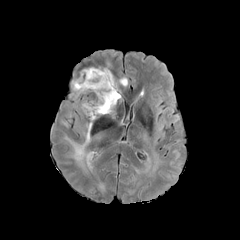
FLAIR MRI.
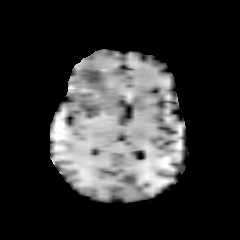
Same slice, T1-weighted MR.
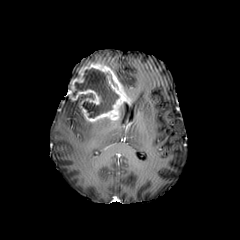
Post-contrast T1-weighted MR.
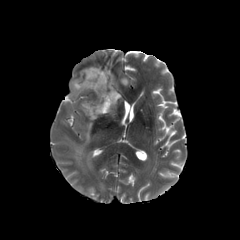
T2-weighted MR.
Axial view. Head.
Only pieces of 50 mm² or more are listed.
{
  "enhancing_tumor": [
    "[68, 63, 130, 122]"
  ],
  "peritumoral_edema": [
    "[120, 77, 128, 86]",
    "[65, 122, 92, 167]"
  ],
  "necrotic_tumor_core": [
    "[75, 69, 118, 117]",
    "[75, 94, 93, 102]"
  ]
}